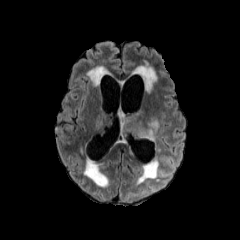
FLAIR MRI.
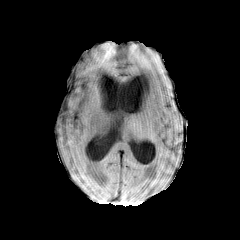
Same slice, T1-weighted MRI.
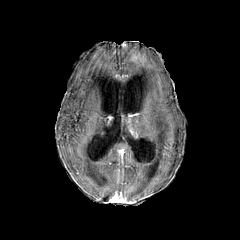
Post-contrast T1-weighted magnetic resonance.
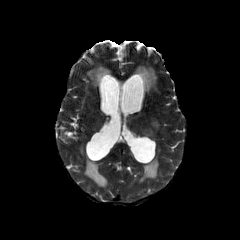
Same slice, T2-weighted magnetic resonance.
Image size 240x240
Findings:
• peritumoral edema: [117,108,159,141], [99,116,112,127]